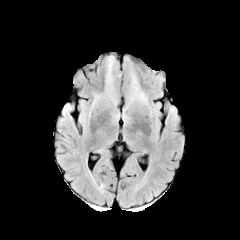
FLAIR MRI.
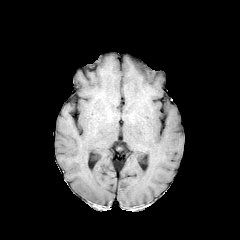
T1-weighted MRI of the same slice.
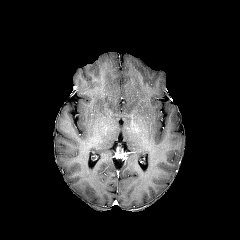
Post-contrast T1-weighted MRI of the same slice.
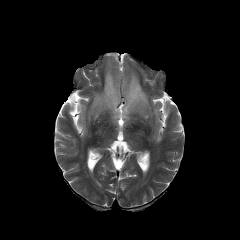
T2-weighted MR.
Head
peritumoral edema = <box>105,60,117,105</box>, <box>124,74,147,111</box>